FLAIR MRI.
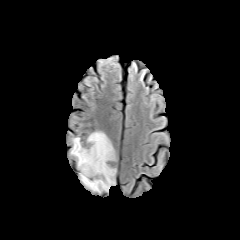
T1-weighted MR image.
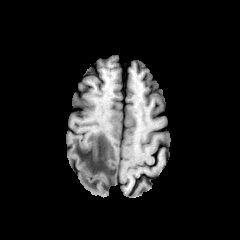
Post-contrast T1-weighted MR image.
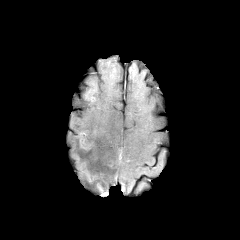
T2-weighted MR image.
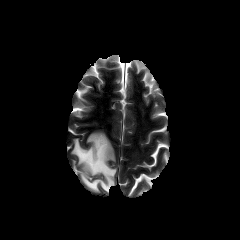
Image size 240x240. Brain. Axial plane.
The peritumoral edema lies within left=71, top=132, right=115, bottom=191.